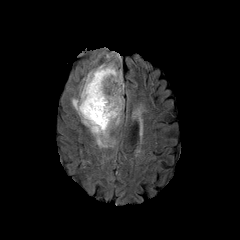
FLAIR magnetic resonance.
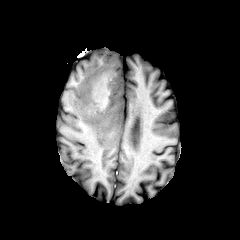
Same slice, T1-weighted MRI.
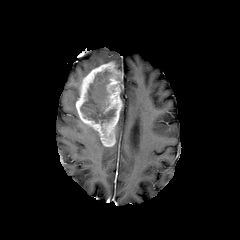
Same slice, post-contrast T1-weighted MRI.
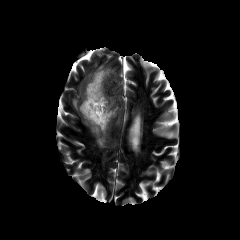
T2-weighted MR image of the same slice.
Head
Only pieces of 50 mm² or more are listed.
peritumoral_edema:
  - box(83, 123, 108, 148)
  - box(71, 90, 79, 111)
necrotic_tumor_core:
  - box(80, 70, 115, 125)
enhancing_tumor:
  - box(75, 62, 123, 146)